240x240, Slice 116 of 155, Brain
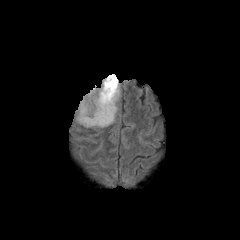
FLAIR MR.
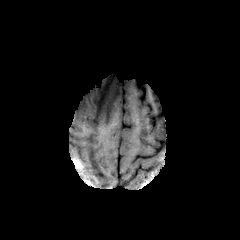
Same slice, T1-weighted magnetic resonance.
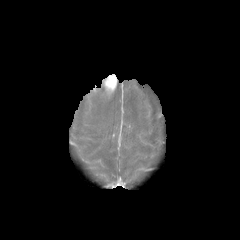
Post-contrast T1-weighted magnetic resonance.
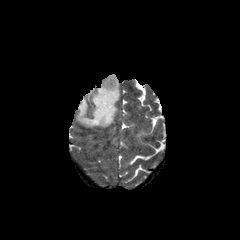
Same slice, T2-weighted MRI.
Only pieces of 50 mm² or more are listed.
enhancing tumor = (left=103, top=74, right=117, bottom=94)
peritumoral edema = (left=76, top=80, right=119, bottom=127)